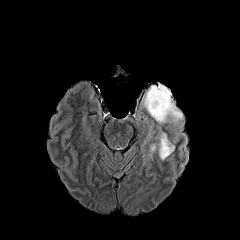
FLAIR magnetic resonance.
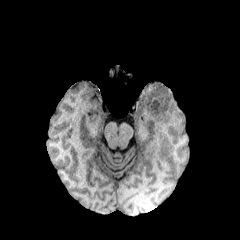
Same slice, T1-weighted MR image.
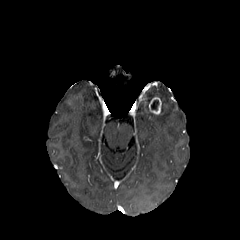
Post-contrast T1-weighted MR.
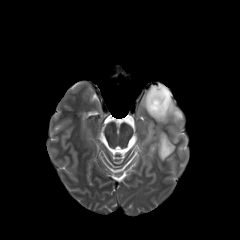
Same slice, T2-weighted MRI.
Image size 240x240 | Axial plane
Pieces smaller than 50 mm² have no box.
peritumoral edema: box(158, 132, 174, 160); box(141, 83, 183, 123)
enhancing tumor: box(149, 97, 161, 114)
necrotic tumor core: box(151, 100, 158, 110)